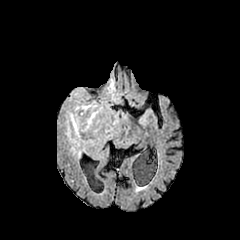
FLAIR MR image.
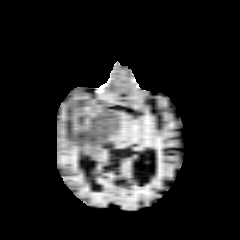
T1-weighted MRI.
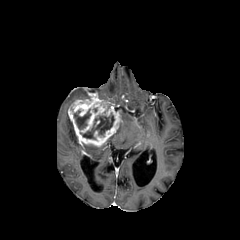
Post-contrast T1-weighted magnetic resonance of the same slice.
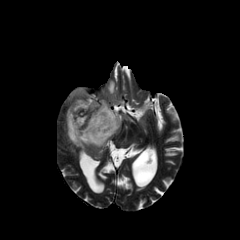
T2-weighted MR.
Image size 240x240; Axial slice; Brain
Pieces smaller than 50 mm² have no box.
peritumoral edema at <bbox>66, 116, 81, 157</bbox>, <bbox>71, 88, 84, 98</bbox>, <bbox>106, 79, 120, 103</bbox>
necrotic tumor core at <bbox>74, 109, 90, 129</bbox>, <bbox>82, 113, 114, 138</bbox>
enhancing tumor at <bbox>68, 93, 122, 148</bbox>